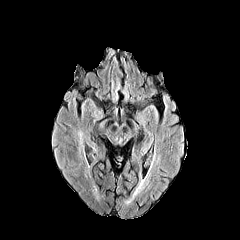
FLAIR MR image.
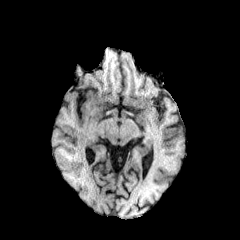
T1-weighted MRI.
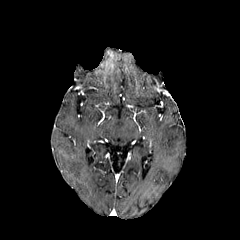
Same slice, post-contrast T1-weighted MRI.
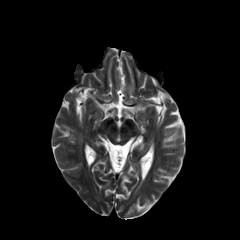
T2-weighted MR image.
Axial slice, 240x240 px, Head
Findings:
• peritumoral edema: left=78, top=132, right=82, bottom=146